Slice 40 of 155, Image width 240 mm, 1.00 mm slice spacing, Head
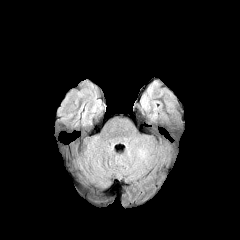
FLAIR magnetic resonance.
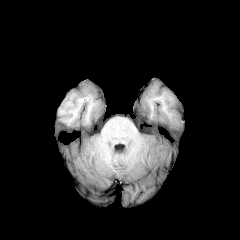
T1-weighted magnetic resonance.
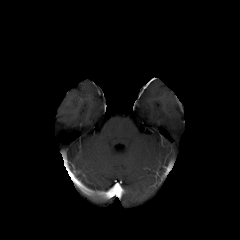
Post-contrast T1-weighted magnetic resonance.
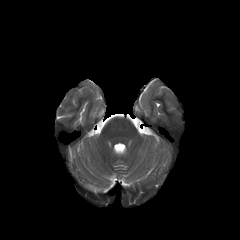
Same slice, T2-weighted MR image.
• peritumoral edema: bbox=[140, 93, 149, 111]